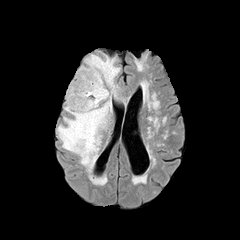
FLAIR magnetic resonance.
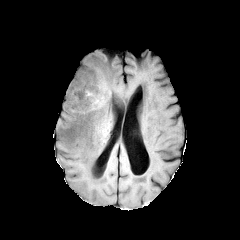
T1-weighted MRI.
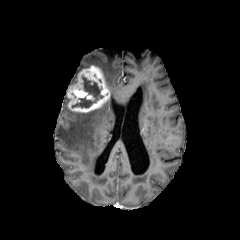
Same slice, post-contrast T1-weighted MR.
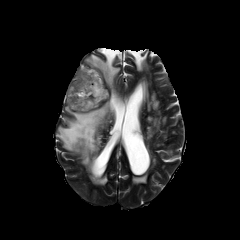
T2-weighted MR.
Axial slice | Head
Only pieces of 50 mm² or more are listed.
enhancing tumor: x1=66 y1=65 x2=110 y2=112
necrotic tumor core: x1=72 y1=76 x2=103 y2=107
peritumoral edema: x1=57 y1=54 x2=120 y2=171